FLAIR MR.
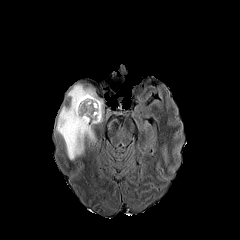
T1-weighted magnetic resonance.
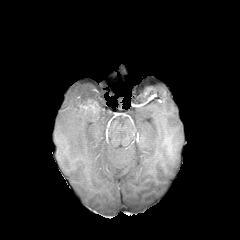
Post-contrast T1-weighted MR.
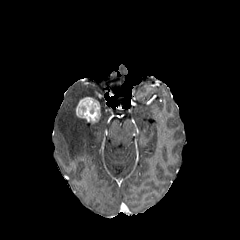
T2-weighted MR image.
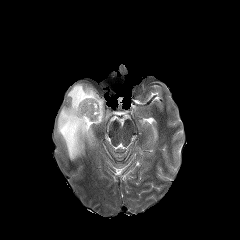
Axial view; Head; 240x240
Segmented structures:
- peritumoral edema: 56 84 103 159
- enhancing tumor: 76 97 100 123